FLAIR MR.
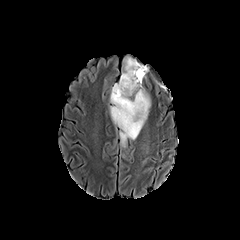
T1-weighted MR.
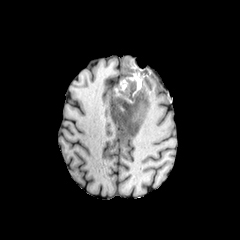
Post-contrast T1-weighted MR.
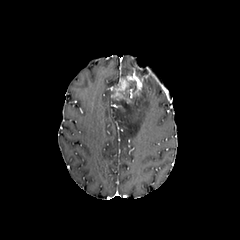
T2-weighted MRI.
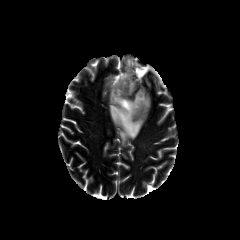
Axial view | Image size 240x240
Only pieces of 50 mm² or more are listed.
<segmentation>
  <necrotic_tumor_core>(128,81,136,91), (114,99,129,110), (136,69,144,79)</necrotic_tumor_core>
  <peritumoral_edema>(121,55,149,77), (109,87,151,147)</peritumoral_edema>
  <enhancing_tumor>(111,68,146,103)</enhancing_tumor>
</segmentation>